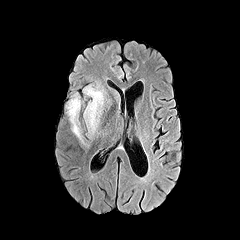
FLAIR MR image.
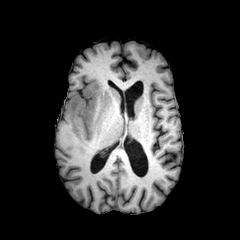
Same slice, T1-weighted MR image.
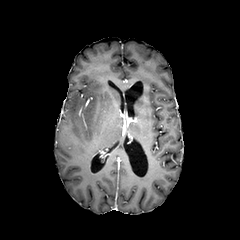
Post-contrast T1-weighted MRI.
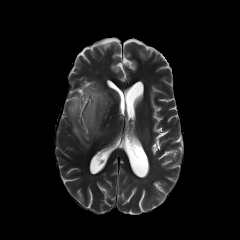
Same slice, T2-weighted magnetic resonance.
Brain, Axial view
Findings:
* peritumoral edema: {"x1": 84, "y1": 85, "x2": 104, "y2": 133}, {"x1": 67, "y1": 94, "x2": 84, "y2": 144}